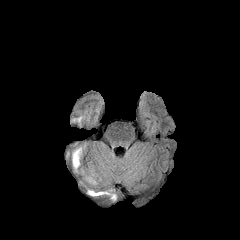
FLAIR magnetic resonance.
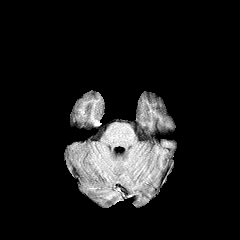
Same slice, T1-weighted MR.
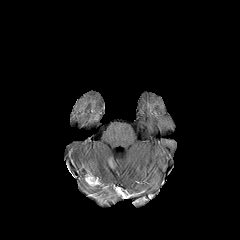
Post-contrast T1-weighted MRI.
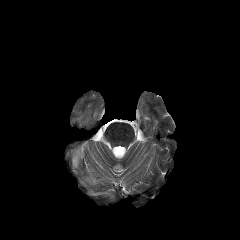
T2-weighted MRI.
Brain
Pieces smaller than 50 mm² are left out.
Annotated regions:
• enhancing tumor: l=85, t=169, r=99, b=185
• peritumoral edema: l=87, t=189, r=115, b=198; l=72, t=145, r=84, b=168